Brain, Image width 240 mm
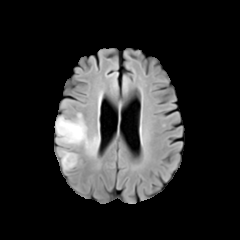
FLAIR magnetic resonance.
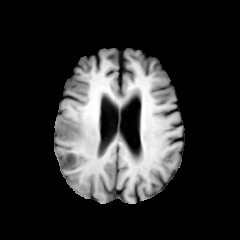
Same slice, T1-weighted MRI.
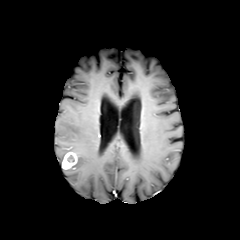
Post-contrast T1-weighted MR image.
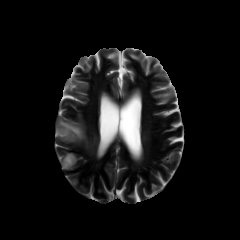
T2-weighted MR image of the same slice.
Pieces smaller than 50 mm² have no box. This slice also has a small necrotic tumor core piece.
enhancing_tumor:
  - [x1=62, y1=152, x2=77, y2=169]
peritumoral_edema:
  - [x1=55, y1=113, x2=98, y2=154]
  - [x1=59, y1=150, x2=67, y2=163]